240x240 px. Brain.
FLAIR MR.
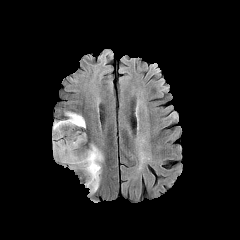
T1-weighted MR.
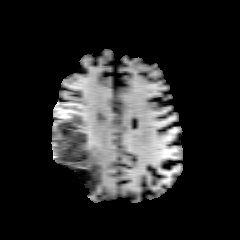
Post-contrast T1-weighted MR.
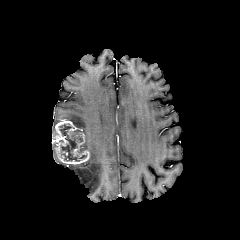
T2-weighted MR.
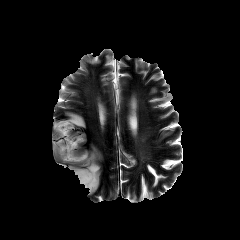
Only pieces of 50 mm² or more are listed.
peritumoral edema at [68,144,103,194], [65,112,85,128]
necrotic tumor core at [60,124,79,161]
enhancing tumor at [52,120,89,164]